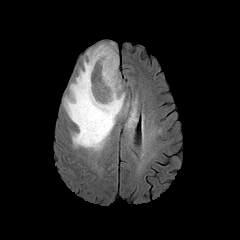
FLAIR MR image.
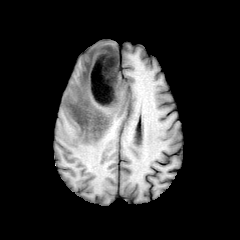
T1-weighted MR image.
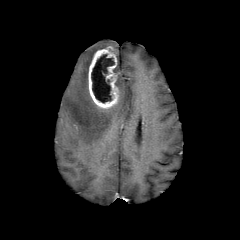
Post-contrast T1-weighted MR image.
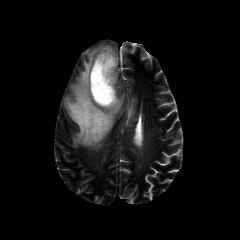
T2-weighted magnetic resonance.
Head, Axial plane
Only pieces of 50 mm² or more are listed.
enhancing tumor at (left=88, top=46, right=118, bottom=108)
peritumoral edema at (left=64, top=43, right=129, bottom=150), (left=126, top=100, right=136, bottom=127)
necrotic tumor core at (left=91, top=54, right=114, bottom=102)